Image width 240 mm
FLAIR MRI.
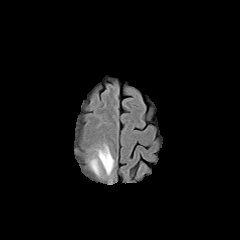
T1-weighted MRI.
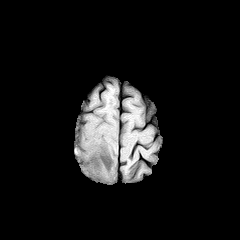
Post-contrast T1-weighted MRI.
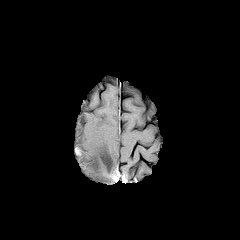
T2-weighted MRI.
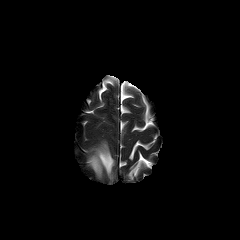
peritumoral edema at (89, 143, 114, 176)